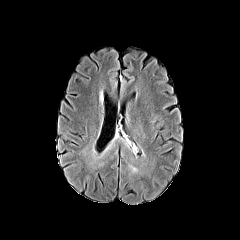
FLAIR MRI.
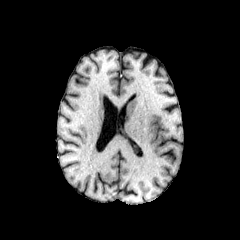
Same slice, T1-weighted MRI.
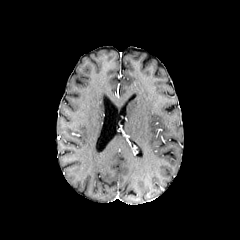
Post-contrast T1-weighted magnetic resonance.
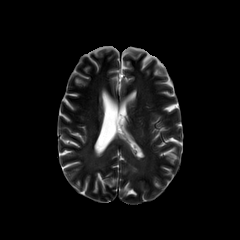
Same slice, T2-weighted MR image.
Axial slice. Image size 240x240. Brain.
peritumoral edema — [127, 163, 137, 174]